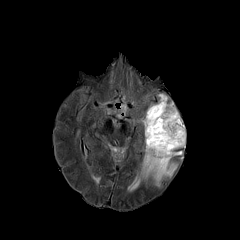
FLAIR magnetic resonance.
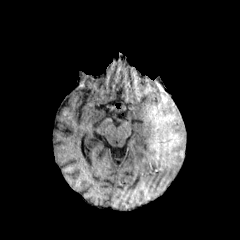
Same slice, T1-weighted MR.
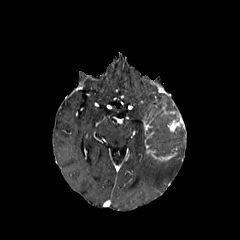
Post-contrast T1-weighted MR.
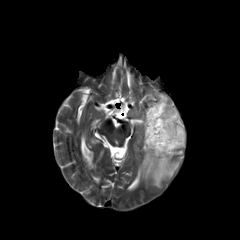
Same slice, T2-weighted MRI.
Head | Axial plane
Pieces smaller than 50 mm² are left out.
peritumoral edema = rect(157, 94, 167, 106); rect(141, 153, 178, 186)
enhancing tumor = rect(143, 117, 153, 143); rect(146, 144, 176, 161); rect(161, 104, 185, 131)
necrotic tumor core = rect(146, 104, 184, 156)